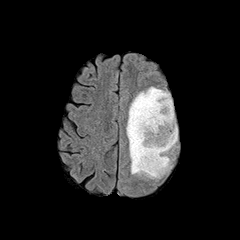
FLAIR MR image.
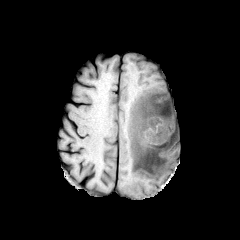
T1-weighted MR image.
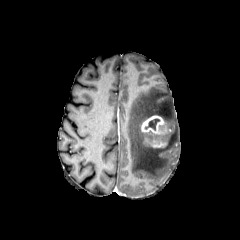
Post-contrast T1-weighted magnetic resonance of the same slice.
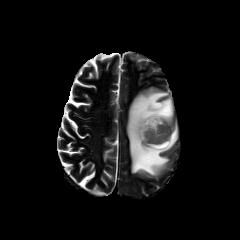
Same slice, T2-weighted MRI.
Head, Axial view
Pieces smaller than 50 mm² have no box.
Annotated regions:
• enhancing tumor: x1=151, y1=140, x2=166, y2=147; x1=141, y1=115, x2=166, y2=134
• peritumoral edema: x1=126, y1=87, x2=177, y2=178
• necrotic tumor core: x1=145, y1=119, x2=159, y2=130